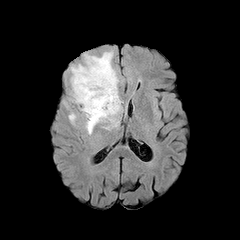
FLAIR magnetic resonance.
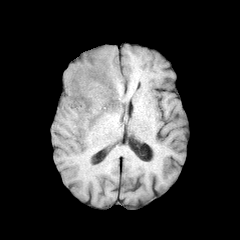
T1-weighted MRI.
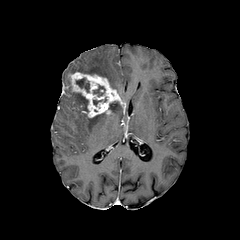
Post-contrast T1-weighted MR image of the same slice.
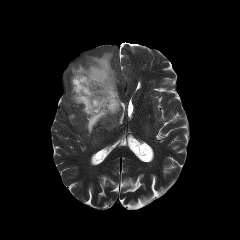
T2-weighted magnetic resonance of the same slice.
Axial view
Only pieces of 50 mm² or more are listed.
Findings:
* peritumoral edema: rect(71, 51, 118, 92); rect(71, 92, 88, 111); rect(85, 102, 121, 134)
* enhancing tumor: rect(70, 72, 123, 117)
* necrotic tumor core: rect(76, 78, 89, 92); rect(93, 85, 105, 96)